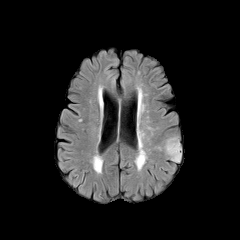
FLAIR MR image.
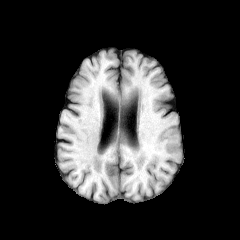
T1-weighted MR.
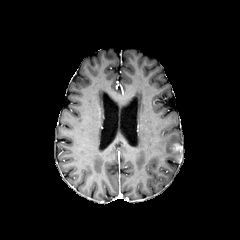
Same slice, post-contrast T1-weighted magnetic resonance.
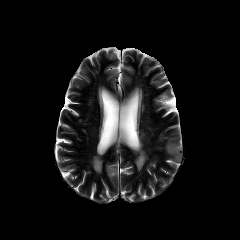
T2-weighted MRI.
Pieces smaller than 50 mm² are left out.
peritumoral edema at left=165, top=137, right=182, bottom=162
enhancing tumor at left=172, top=144, right=181, bottom=151